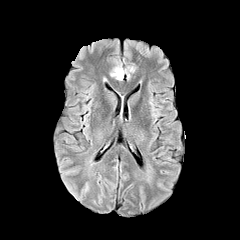
FLAIR MRI.
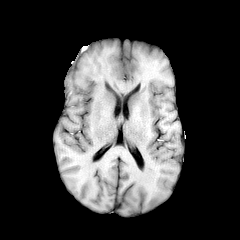
T1-weighted MR of the same slice.
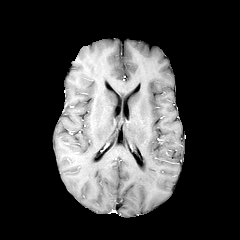
Post-contrast T1-weighted MR image of the same slice.
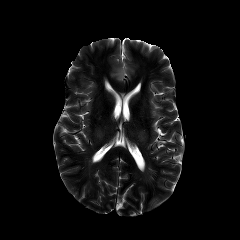
T2-weighted MRI.
Head.
peritumoral edema at <box>111,67,125,80</box>